Axial view, Head
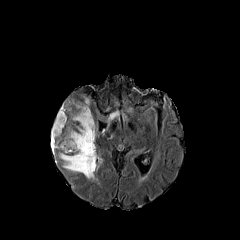
FLAIR magnetic resonance.
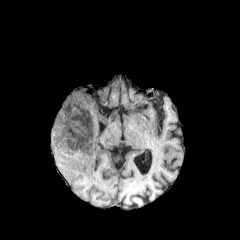
T1-weighted MR.
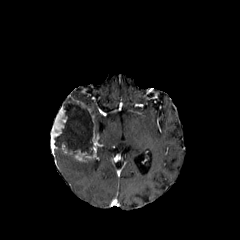
Post-contrast T1-weighted MR image of the same slice.
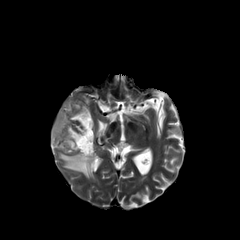
T2-weighted MR image of the same slice.
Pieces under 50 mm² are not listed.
enhancing tumor — box=[73, 126, 96, 161]; box=[61, 143, 72, 154]; box=[50, 101, 67, 148]
necrotic tumor core — box=[55, 98, 94, 155]
peritumoral edema — box=[58, 152, 96, 178]